Axial plane | Slice 84 of 155 | Brain
FLAIR magnetic resonance.
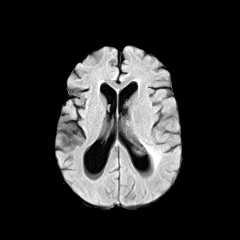
T1-weighted MRI.
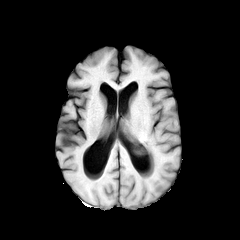
Post-contrast T1-weighted MR.
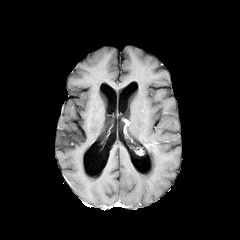
T2-weighted MR.
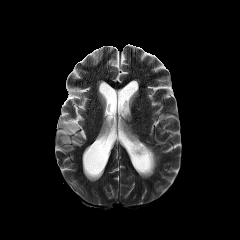
peritumoral edema — <bbox>142, 142, 160, 167</bbox>